Brain
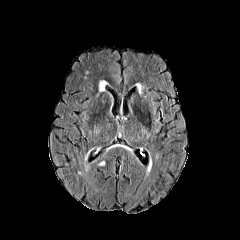
FLAIR MRI.
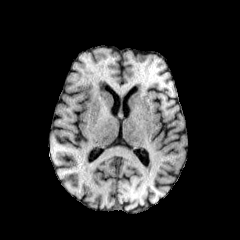
T1-weighted magnetic resonance.
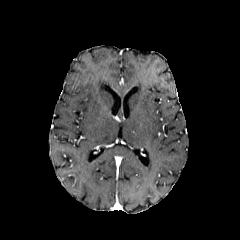
Post-contrast T1-weighted MRI of the same slice.
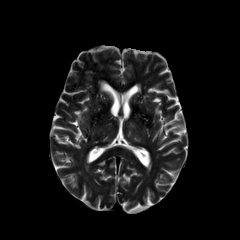
T2-weighted magnetic resonance.
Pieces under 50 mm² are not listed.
peritumoral edema — {"x1": 99, "y1": 81, "x2": 106, "y2": 91}